Image width 240 mm, 1.00 mm slice spacing; Head; Slice 79/155; Axial view
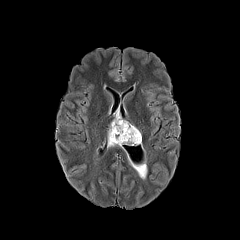
FLAIR MR image.
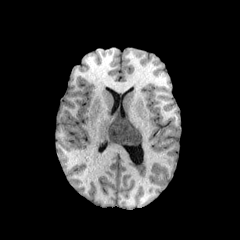
Same slice, T1-weighted MR image.
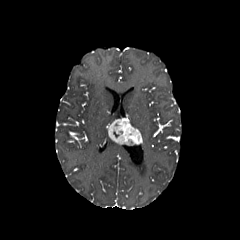
Post-contrast T1-weighted magnetic resonance.
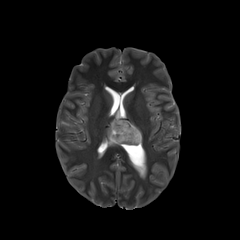
T2-weighted magnetic resonance.
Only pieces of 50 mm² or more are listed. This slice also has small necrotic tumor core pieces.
The enhancing tumor appears at [107, 118, 142, 144]. The largest peritumoral edema region lies within [108, 136, 121, 147].